FLAIR MRI.
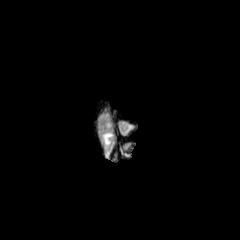
T1-weighted magnetic resonance.
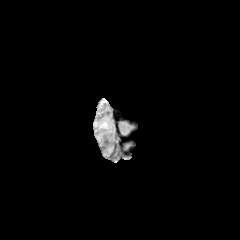
Post-contrast T1-weighted magnetic resonance.
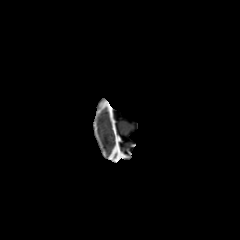
T2-weighted magnetic resonance.
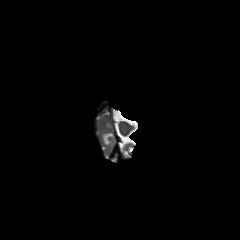
Axial slice. Brain.
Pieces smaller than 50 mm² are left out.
peritumoral_edema:
  - l=101, t=131, r=112, b=145